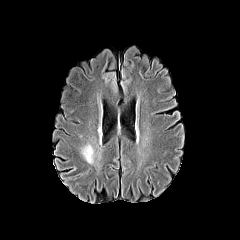
FLAIR MRI.
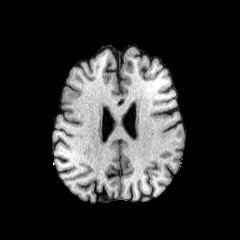
Same slice, T1-weighted magnetic resonance.
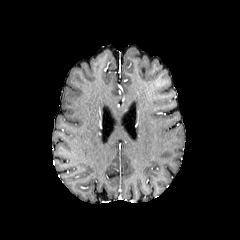
Post-contrast T1-weighted MRI of the same slice.
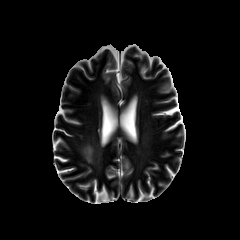
T2-weighted magnetic resonance of the same slice.
Head, Axial slice
{
  "peritumoral_edema": [
    "x1=81 y1=144 x2=94 y2=163"
  ]
}